FLAIR MRI.
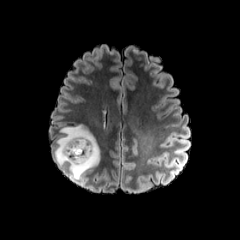
T1-weighted MRI.
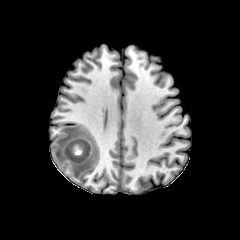
Post-contrast T1-weighted MR image.
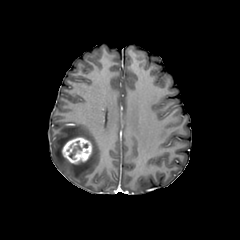
T2-weighted MR.
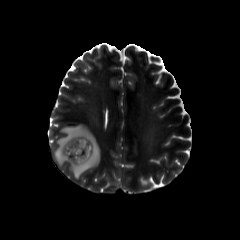
Brain.
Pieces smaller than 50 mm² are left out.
necrotic tumor core at [69, 145, 81, 158]
peritumoral edema at [53, 124, 100, 181]
enhancing tumor at [61, 137, 92, 163]